FLAIR MR image.
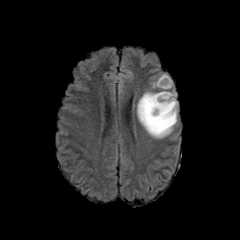
T1-weighted MR image.
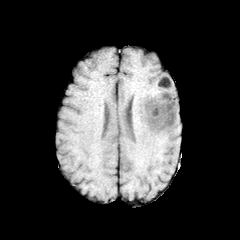
Post-contrast T1-weighted MRI.
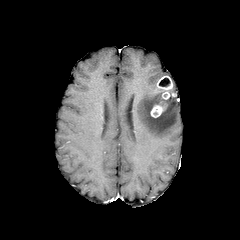
T2-weighted magnetic resonance.
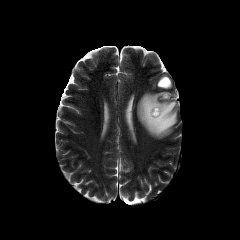
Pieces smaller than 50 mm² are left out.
peritumoral edema — region(137, 90, 177, 138)
enhancing tumor — region(157, 76, 176, 99); region(150, 102, 167, 117)
necrotic tumor core — region(159, 78, 170, 86)